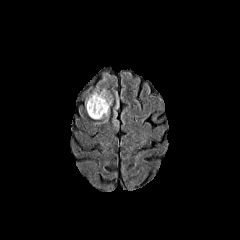
FLAIR MR.
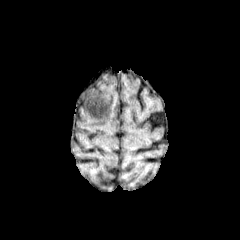
T1-weighted magnetic resonance of the same slice.
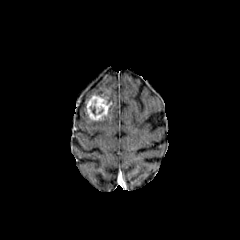
Same slice, post-contrast T1-weighted MR image.
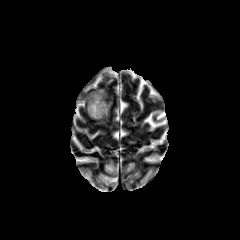
T2-weighted magnetic resonance.
Axial view, Brain
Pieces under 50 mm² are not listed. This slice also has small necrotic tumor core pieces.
enhancing tumor — rect(85, 94, 111, 120)
peritumoral edema — rect(111, 90, 119, 128); rect(92, 89, 112, 102)